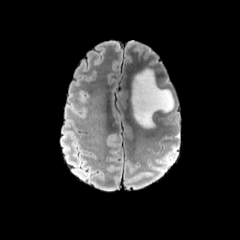
FLAIR MR image.
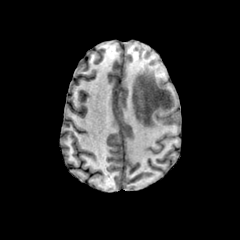
T1-weighted MR.
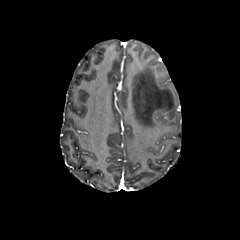
Post-contrast T1-weighted MRI.
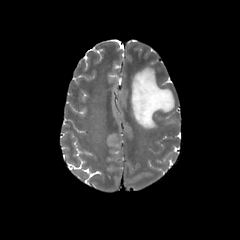
T2-weighted MRI.
Image size 240x240 | Head
<segmentation>
  <peritumoral_edema>131:68:174:128</peritumoral_edema>
</segmentation>